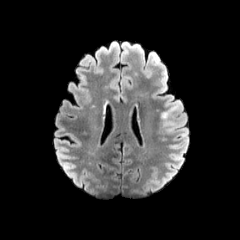
FLAIR MRI.
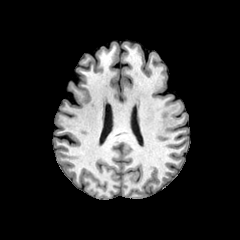
Same slice, T1-weighted magnetic resonance.
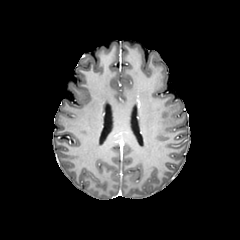
Post-contrast T1-weighted MR image.
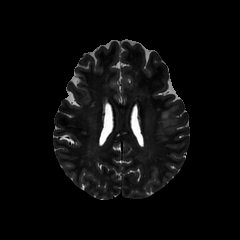
T2-weighted MR image.
Head | Image size 240x240
{
  "peritumoral_edema": [
    "bbox=[162, 107, 176, 126]"
  ]
}